FLAIR magnetic resonance.
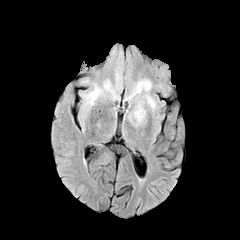
T1-weighted MRI.
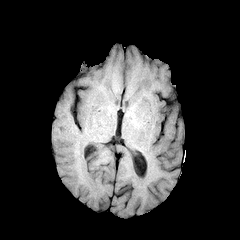
Post-contrast T1-weighted MR image.
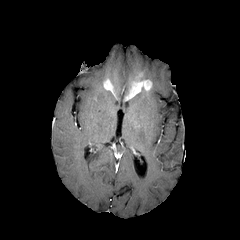
T2-weighted magnetic resonance.
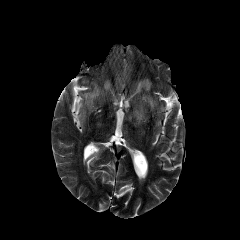
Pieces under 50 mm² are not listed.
The 2 largest peritumoral edema regions appear at box=[133, 94, 156, 122]; box=[84, 84, 118, 104]. 2 enhancing tumor regions are located at box=[125, 80, 152, 100]; box=[103, 79, 115, 95].